FLAIR MR image.
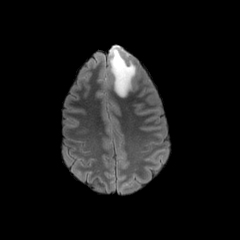
T1-weighted MR image.
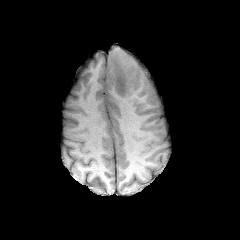
Post-contrast T1-weighted MRI.
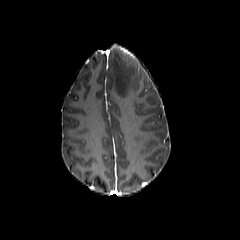
T2-weighted magnetic resonance.
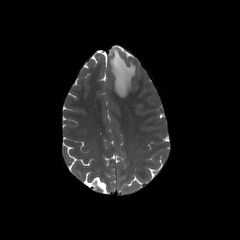
Brain, Axial view
peritumoral edema: x1=109 y1=47 x2=135 y2=96